FLAIR magnetic resonance.
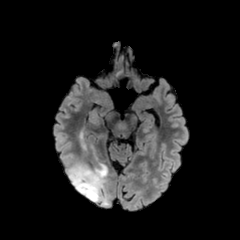
T1-weighted magnetic resonance.
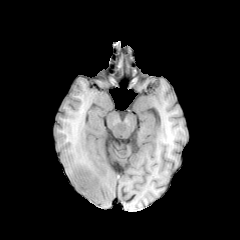
Post-contrast T1-weighted MRI.
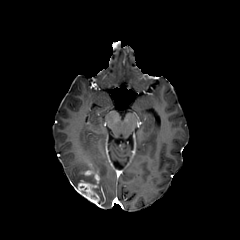
T2-weighted magnetic resonance.
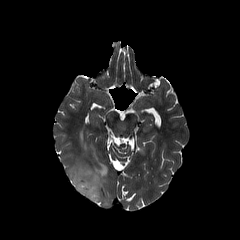
Axial slice
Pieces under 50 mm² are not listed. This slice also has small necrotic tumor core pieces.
peritumoral edema = box(67, 131, 111, 206)
enhancing tumor = box(76, 170, 99, 204)